240x240 px | Axial slice | Image width 240 mm
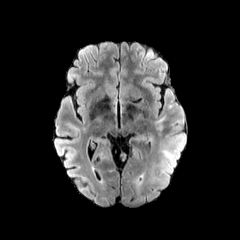
FLAIR magnetic resonance.
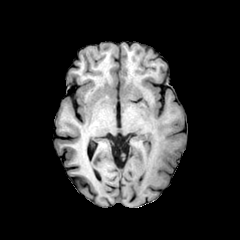
T1-weighted magnetic resonance.
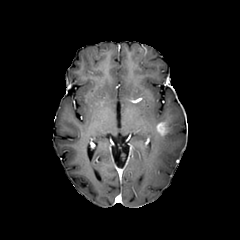
Same slice, post-contrast T1-weighted MRI.
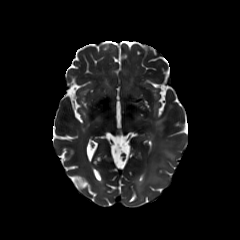
T2-weighted MR image.
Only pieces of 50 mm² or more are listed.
enhancing tumor: bounding box <box>156,122,168,135</box>
peritumoral edema: bounding box <box>164,136,181,145</box>